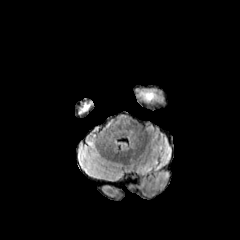
FLAIR MR image.
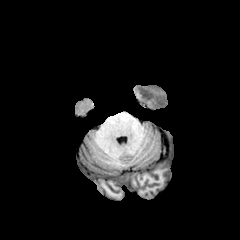
T1-weighted MR of the same slice.
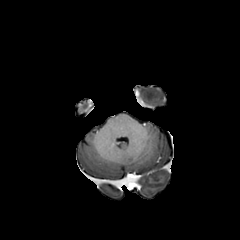
Same slice, post-contrast T1-weighted MRI.
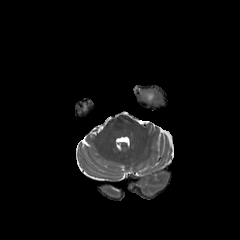
T2-weighted MR.
Head.
Annotated regions:
- peritumoral edema: rect(141, 91, 156, 101)